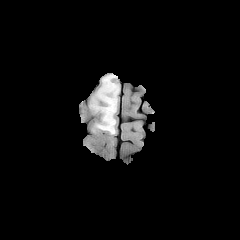
FLAIR magnetic resonance.
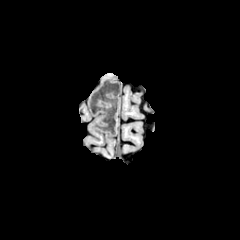
T1-weighted MR of the same slice.
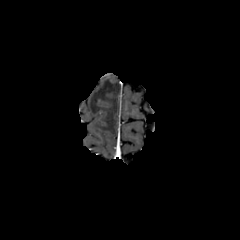
Post-contrast T1-weighted MR image.
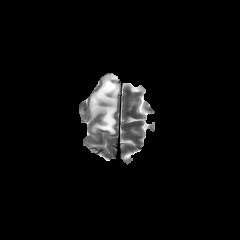
T2-weighted MR image of the same slice.
Axial slice. Head.
The peritumoral edema is at 90, 75, 119, 134.